FLAIR MR image.
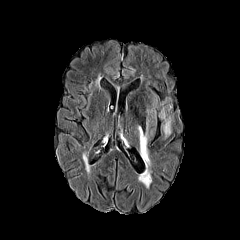
T1-weighted magnetic resonance.
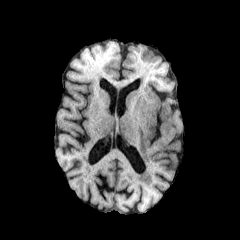
Post-contrast T1-weighted MR image.
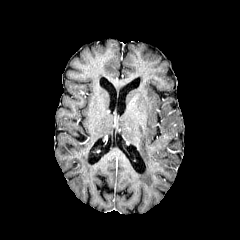
T2-weighted MR image.
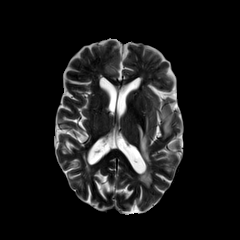
peritumoral edema: bbox=[161, 108, 171, 136]; bbox=[138, 118, 150, 166]